FLAIR MR.
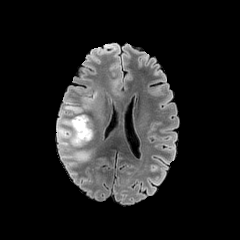
T1-weighted magnetic resonance.
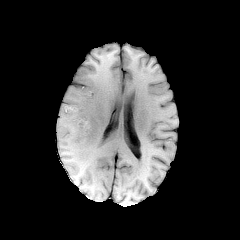
Post-contrast T1-weighted magnetic resonance.
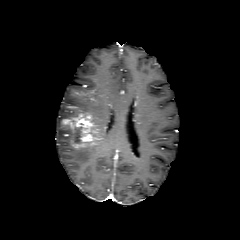
T2-weighted MRI.
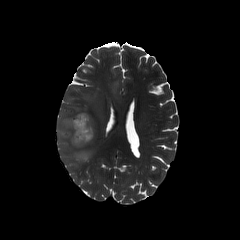
240x240 px.
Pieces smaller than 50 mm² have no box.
Annotated regions:
• peritumoral edema: [83, 97, 92, 108], [57, 99, 91, 161]
• enhancing tumor: [63, 113, 96, 147]